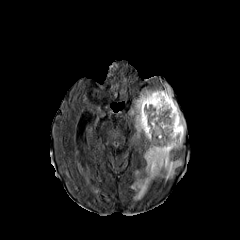
FLAIR MR image.
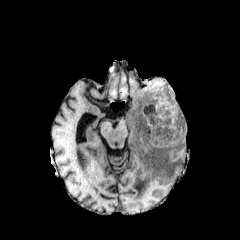
T1-weighted MR image of the same slice.
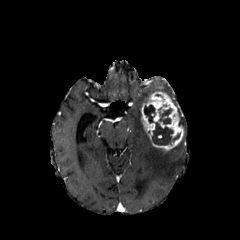
Same slice, post-contrast T1-weighted MR image.
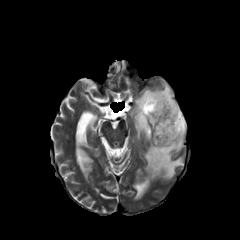
Same slice, T2-weighted magnetic resonance.
Brain, Axial view
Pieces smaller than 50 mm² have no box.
• enhancing tumor: (141, 91, 183, 151)
• peritumoral edema: (130, 81, 185, 199)
• necrotic tumor core: (144, 105, 180, 145), (158, 107, 172, 124)